FLAIR MR.
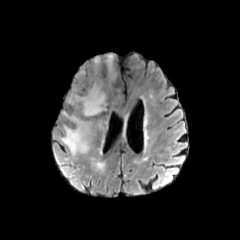
T1-weighted MRI.
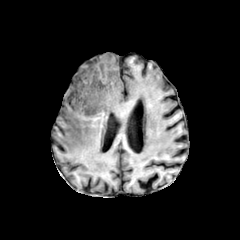
Post-contrast T1-weighted MR.
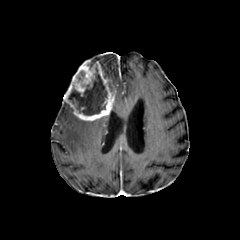
T2-weighted MR image.
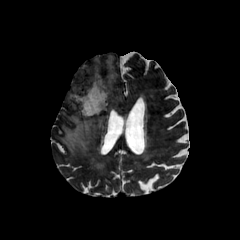
Head
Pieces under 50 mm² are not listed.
* enhancing tumor: (64,60,115,121)
* necrotic tumor core: (68,67,106,115)
* peritumoral edema: (60,111,93,155), (105,54,115,81)